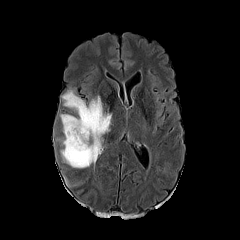
FLAIR magnetic resonance.
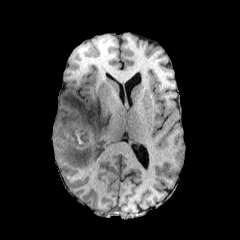
T1-weighted MRI of the same slice.
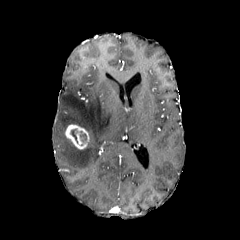
Same slice, post-contrast T1-weighted MR image.
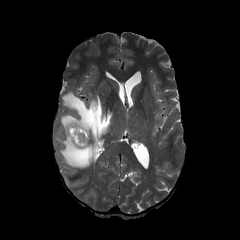
T2-weighted MRI.
Brain; Axial view; 240x240
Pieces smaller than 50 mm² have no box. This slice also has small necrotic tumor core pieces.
<segmentation>
  <enhancing_tumor>box(65, 124, 89, 149)</enhancing_tumor>
  <peritumoral_edema>box(60, 90, 111, 168)</peritumoral_edema>
</segmentation>